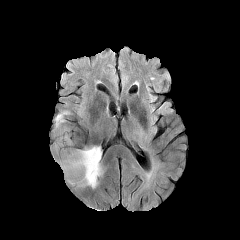
FLAIR MRI.
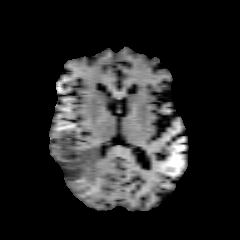
Same slice, T1-weighted MR image.
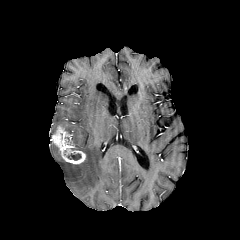
Same slice, post-contrast T1-weighted MR image.
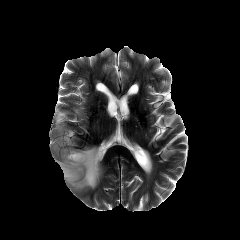
T2-weighted MR.
240x240; Axial plane; Brain
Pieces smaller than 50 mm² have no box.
enhancing tumor — [x1=51, y1=126, x2=85, y2=164]
necrotic tumor core — [x1=68, y1=154, x2=80, y2=160]
peritumoral edema — [x1=56, y1=146, x2=103, y2=188], [x1=54, y1=111, x2=69, y2=133]